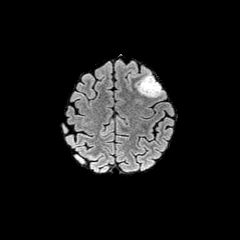
FLAIR MRI.
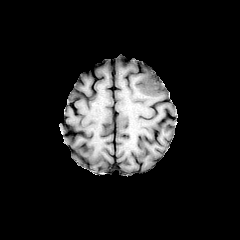
T1-weighted MR image.
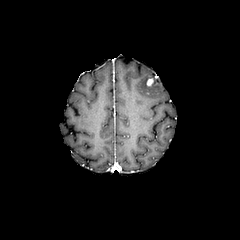
Post-contrast T1-weighted MR.
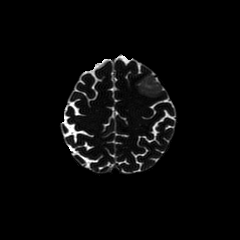
T2-weighted MRI of the same slice.
Axial slice
<segmentation>
  <enhancing_tumor>(x1=145, y1=77, x2=154, y2=87)</enhancing_tumor>
  <peritumoral_edema>(x1=137, y1=73, x2=163, y2=97)</peritumoral_edema>
</segmentation>